FLAIR MRI.
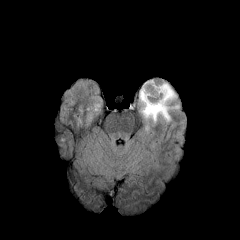
T1-weighted MR image.
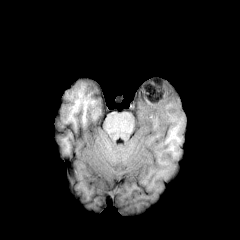
Post-contrast T1-weighted MR.
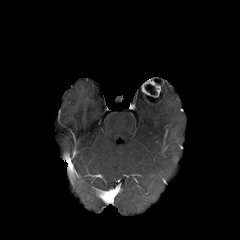
T2-weighted magnetic resonance.
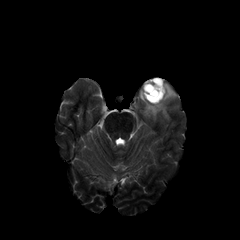
Brain; Axial view
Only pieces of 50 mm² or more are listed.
peritumoral edema = 139, 82, 179, 131
necrotic tumor core = 145, 84, 156, 95; 145, 92, 162, 102
enhancing tumor = 141, 79, 166, 103